FLAIR MR.
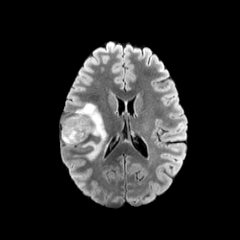
T1-weighted MR.
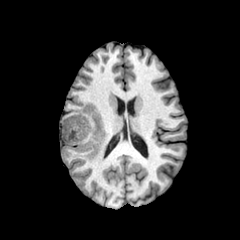
Post-contrast T1-weighted MR.
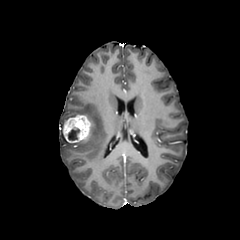
T2-weighted MR image.
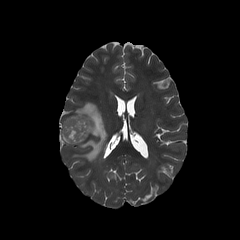
peritumoral edema: bounding box x1=62 y1=103 x2=108 y2=160
necrotic tumor core: bounding box x1=68 y1=128 x2=79 y2=140
enhancing tumor: bounding box x1=63 y1=115 x2=90 y2=142